FLAIR MR.
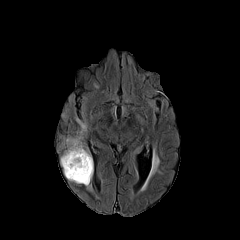
T1-weighted MR image.
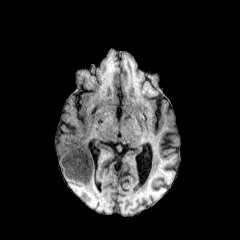
Post-contrast T1-weighted MR image.
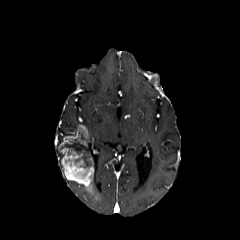
T2-weighted MR image.
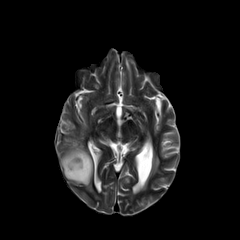
240x240 px, Axial plane, Head
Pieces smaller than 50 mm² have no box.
The largest necrotic tumor core region is located at x1=59 y1=139 x2=90 y2=167. 2 enhancing tumor regions appear at x1=59 y1=124 x2=88 y2=148, x1=58 y1=148 x2=99 y2=199. The largest peritumoral edema region is at x1=76 y1=114 x2=87 y2=128.